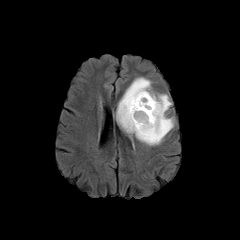
FLAIR MR image.
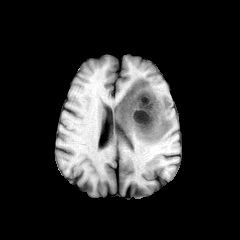
T1-weighted MR image.
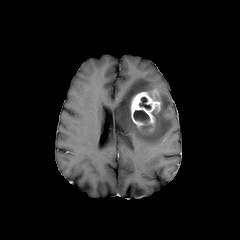
Post-contrast T1-weighted MR of the same slice.
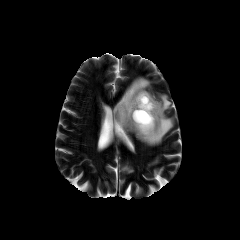
T2-weighted magnetic resonance.
Axial view | Brain
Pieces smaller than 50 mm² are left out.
The peritumoral edema lies within 115:77:174:145. The enhancing tumor appears at 130:91:161:132. The 2 largest necrotic tumor core regions are bounded by 134:110:149:123, 139:97:150:109.